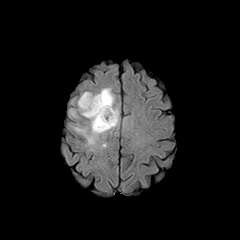
FLAIR MR.
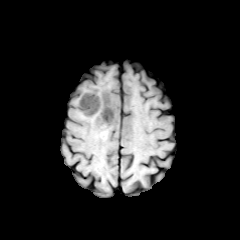
Same slice, T1-weighted MR image.
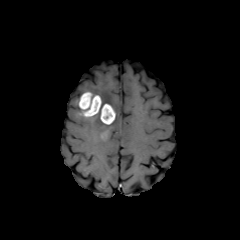
Post-contrast T1-weighted MRI of the same slice.
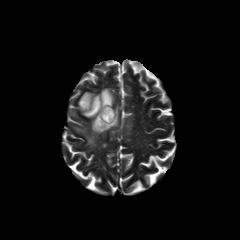
T2-weighted magnetic resonance.
240x240 px
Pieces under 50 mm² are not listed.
Segmented structures:
- necrotic tumor core: [103, 109, 111, 120], [90, 101, 97, 113]
- peritumoral edema: [74, 87, 119, 146]
- enhancing tumor: [78, 92, 115, 124]